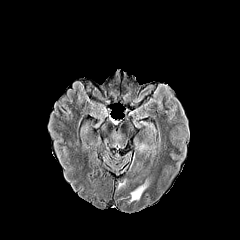
FLAIR MR.
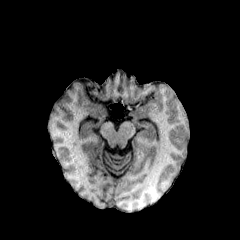
T1-weighted magnetic resonance.
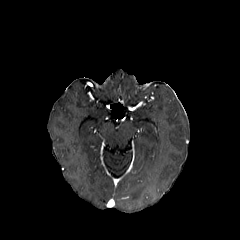
Post-contrast T1-weighted MRI.
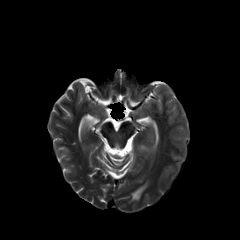
T2-weighted MR.
240x240 px. Axial plane.
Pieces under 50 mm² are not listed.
{"peritumoral_edema": ["left=131, top=183, right=146, bottom=201"]}